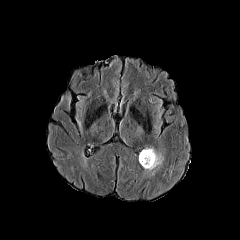
FLAIR MR image.
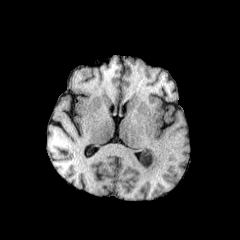
Same slice, T1-weighted MR image.
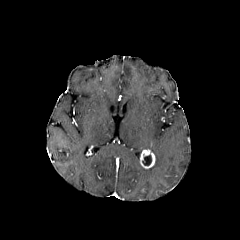
Post-contrast T1-weighted magnetic resonance.
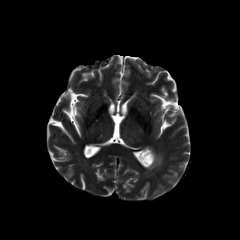
Same slice, T2-weighted MR image.
Head
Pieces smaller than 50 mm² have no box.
The enhancing tumor is bounded by left=139, top=149, right=155, bottom=168. The largest peritumoral edema region is at left=145, top=147, right=163, bottom=174. The necrotic tumor core appears at left=142, top=154, right=151, bottom=165.